FLAIR MR image.
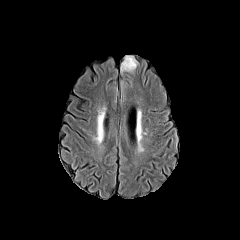
T1-weighted MR image.
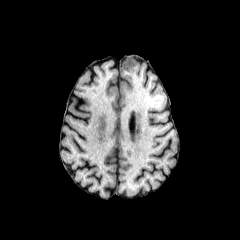
Post-contrast T1-weighted MR.
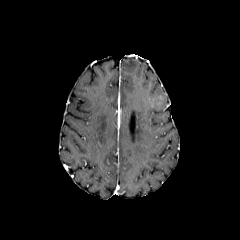
T2-weighted magnetic resonance.
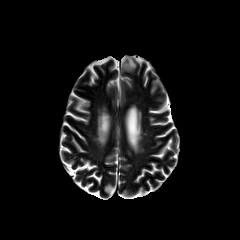
Brain
<segmentation>
  <peritumoral_edema><bbox>121, 55, 137, 72</bbox></peritumoral_edema>
</segmentation>